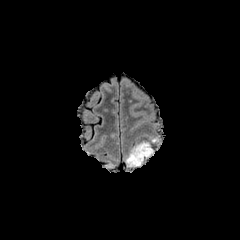
FLAIR MR.
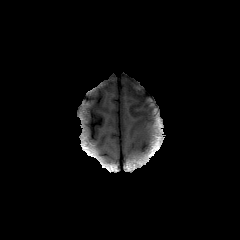
Same slice, T1-weighted magnetic resonance.
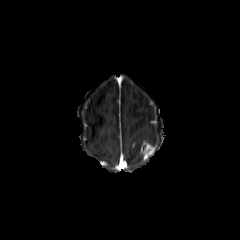
Post-contrast T1-weighted magnetic resonance of the same slice.
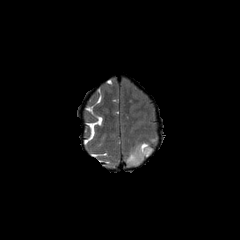
T2-weighted MRI of the same slice.
Image size 240x240.
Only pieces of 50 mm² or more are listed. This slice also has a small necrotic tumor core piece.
enhancing tumor: (x1=140, y1=140, x2=154, y2=159)
peritumoral edema: (x1=146, y1=137, x2=158, y2=145), (x1=126, y1=141, x2=143, y2=166)